Head, Slice 102 of 155, Image width 240 mm
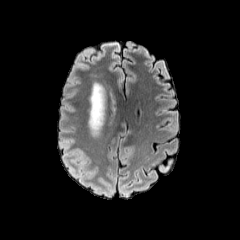
FLAIR MR.
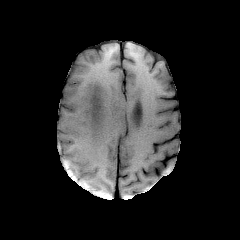
Same slice, T1-weighted MR.
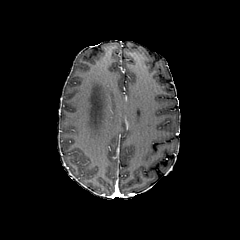
Same slice, post-contrast T1-weighted MRI.
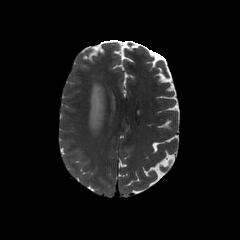
T2-weighted MR of the same slice.
peritumoral edema at (89,82,105,136)